Head; Slice 93 of 155
FLAIR magnetic resonance.
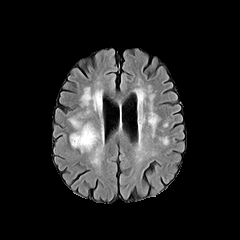
T1-weighted MR image.
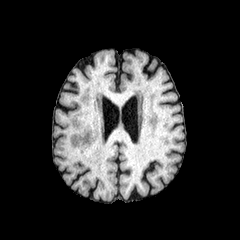
Post-contrast T1-weighted MR image.
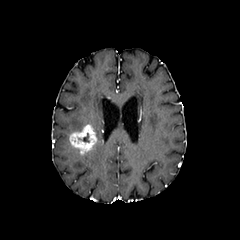
T2-weighted MR image.
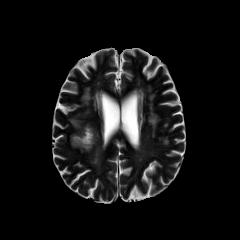
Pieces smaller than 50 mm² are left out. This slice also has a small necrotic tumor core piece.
{"enhancing_tumor": ["69,124,96,154"], "peritumoral_edema": ["67,117,86,131"]}